Image covers 240 mm x 240 mm
FLAIR MR.
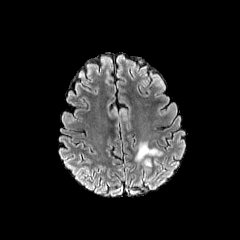
T1-weighted MR.
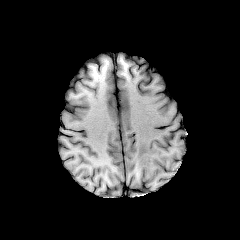
Post-contrast T1-weighted MR image.
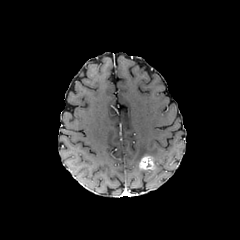
T2-weighted magnetic resonance.
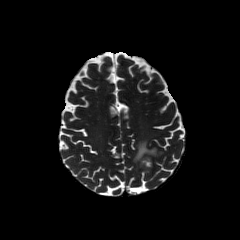
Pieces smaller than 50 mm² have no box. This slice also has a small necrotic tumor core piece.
The largest peritumoral edema region is bounded by 135 142 161 164. The enhancing tumor lies within 139 156 153 170.